FLAIR MR.
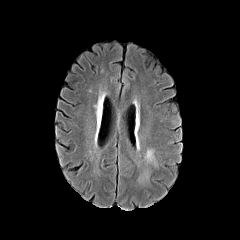
T1-weighted MR image.
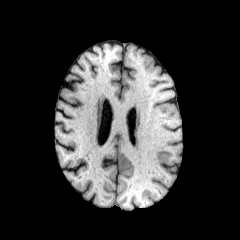
Post-contrast T1-weighted MR image.
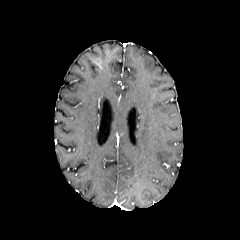
T2-weighted MRI.
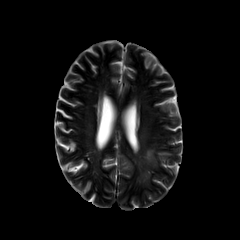
Brain.
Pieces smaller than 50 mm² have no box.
peritumoral_edema:
  - {"x1": 145, "y1": 150, "x2": 153, "y2": 161}